240x240 px.
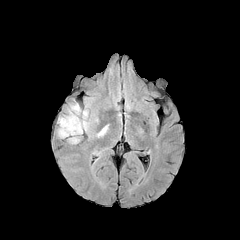
FLAIR MR image.
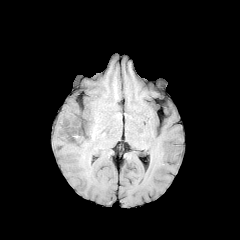
T1-weighted MR.
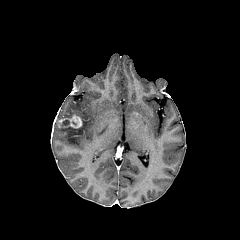
Post-contrast T1-weighted MR image.
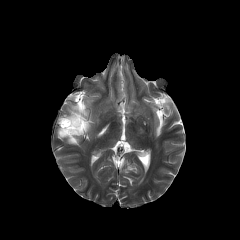
T2-weighted magnetic resonance.
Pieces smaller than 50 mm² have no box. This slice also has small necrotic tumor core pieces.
Segmented structures:
- peritumoral edema: x1=97, y1=126, x2=107, y2=136; x1=59, y1=104, x2=81, y2=119; x1=68, y1=139, x2=79, y2=143; x1=58, y1=110, x2=90, y2=138
- enhancing tumor: x1=59, y1=114, x2=82, y2=131